FLAIR magnetic resonance.
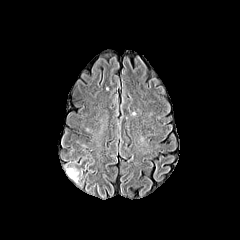
T1-weighted MRI.
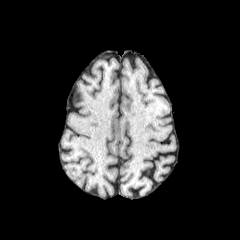
Post-contrast T1-weighted magnetic resonance.
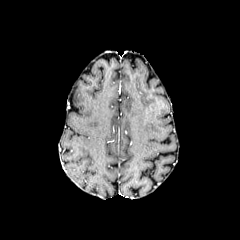
T2-weighted MR image.
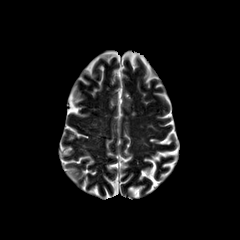
- peritumoral edema: [x1=66, y1=167, x2=79, y2=182]